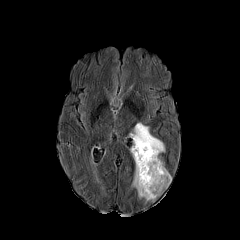
FLAIR magnetic resonance.
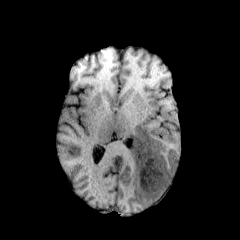
T1-weighted MRI.
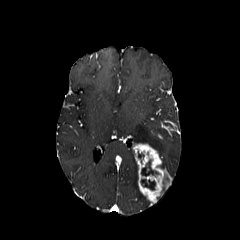
Post-contrast T1-weighted MRI.
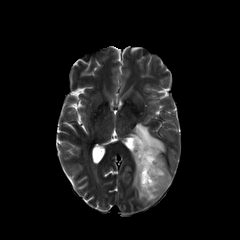
Same slice, T2-weighted magnetic resonance.
Axial plane; 240x240
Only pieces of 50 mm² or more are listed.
- enhancing tumor: [x1=132, y1=143, x2=171, y2=202]
- peritumoral edema: [x1=130, y1=123, x2=165, y2=154], [x1=132, y1=161, x2=147, y2=201]
- necrotic tumor core: [x1=141, y1=179, x2=155, y2=189], [x1=141, y1=160, x2=157, y2=176]